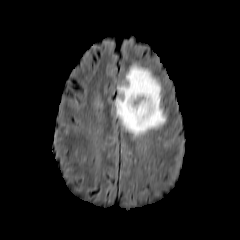
FLAIR MR.
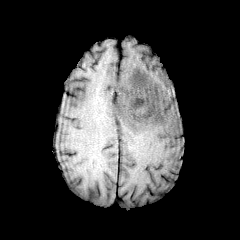
T1-weighted MR of the same slice.
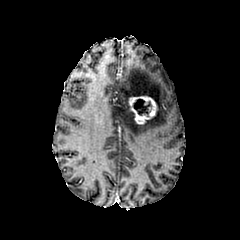
Post-contrast T1-weighted MR.
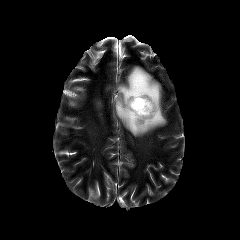
T2-weighted MR image.
Axial view
<segmentation>
  <enhancing_tumor>bbox=[128, 96, 157, 124]</enhancing_tumor>
  <peritumoral_edema>bbox=[115, 65, 166, 136]</peritumoral_edema>
  <necrotic_tumor_core>bbox=[133, 99, 151, 115]</necrotic_tumor_core>
</segmentation>